Brain; Axial view
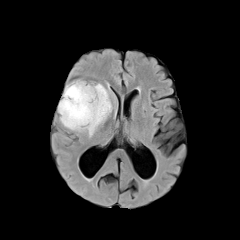
FLAIR magnetic resonance.
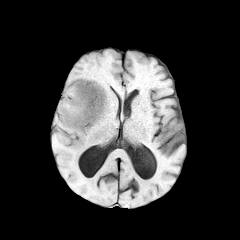
Same slice, T1-weighted MR.
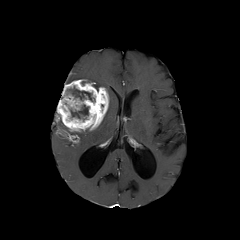
Same slice, post-contrast T1-weighted MR image.
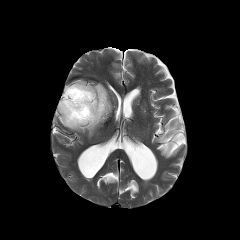
T2-weighted MRI of the same slice.
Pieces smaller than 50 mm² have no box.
peritumoral edema = 77,129,96,137; 101,99,112,123
enhancing tumor = 57,80,109,131
necrotic tumor core = 71,105,88,118; 68,87,91,100